Axial slice
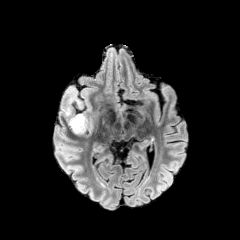
FLAIR magnetic resonance.
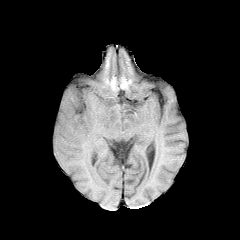
T1-weighted MR image of the same slice.
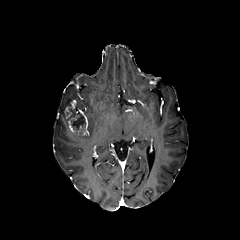
Post-contrast T1-weighted MRI of the same slice.
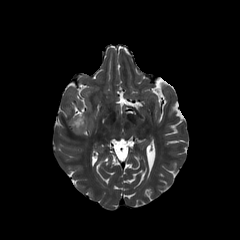
Same slice, T2-weighted magnetic resonance.
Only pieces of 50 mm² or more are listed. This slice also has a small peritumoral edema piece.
{
  "necrotic_tumor_core": [
    "x1=71 y1=114 x2=85 y2=129"
  ],
  "enhancing_tumor": [
    "x1=64 y1=104 x2=88 y2=135"
  ]
}